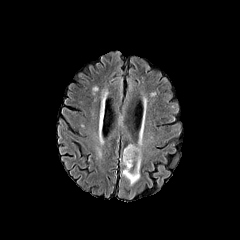
FLAIR MRI.
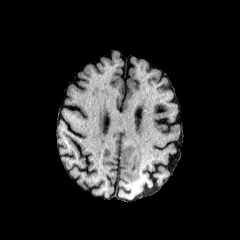
T1-weighted magnetic resonance.
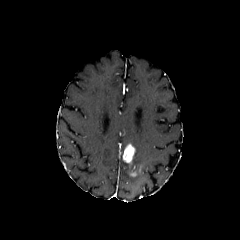
Same slice, post-contrast T1-weighted magnetic resonance.
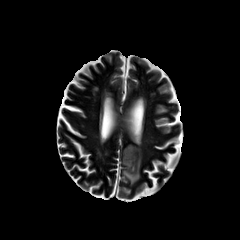
T2-weighted MR image.
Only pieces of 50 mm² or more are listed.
Annotated regions:
- enhancing tumor: box(123, 144, 135, 163)
- peritumoral edema: box(120, 140, 142, 185)